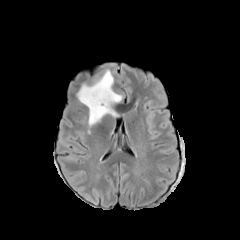
FLAIR MR image.
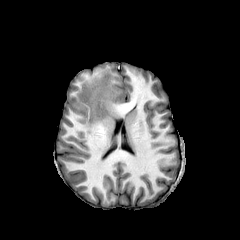
Same slice, T1-weighted magnetic resonance.
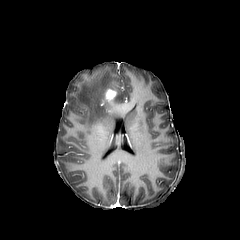
Post-contrast T1-weighted magnetic resonance.
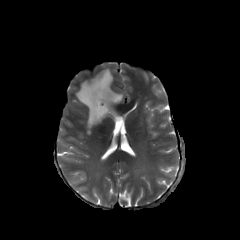
T2-weighted magnetic resonance.
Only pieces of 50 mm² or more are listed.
enhancing tumor: 105, 89, 117, 104 | peritumoral edema: 76, 69, 122, 126